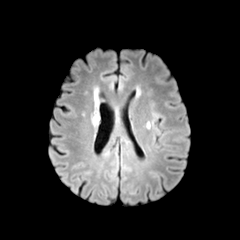
FLAIR MR image.
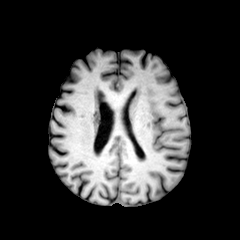
T1-weighted magnetic resonance of the same slice.
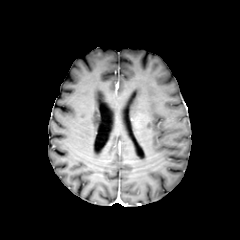
Same slice, post-contrast T1-weighted magnetic resonance.
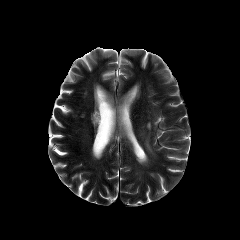
T2-weighted MR image.
Axial plane. Head.
{
  "peritumoral_edema": [
    "(left=91, top=108, right=99, bottom=128)"
  ]
}